Head; Axial view; Slice 59 of 155; Image size 240x240
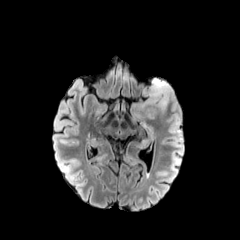
FLAIR magnetic resonance.
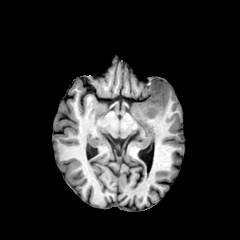
T1-weighted MR.
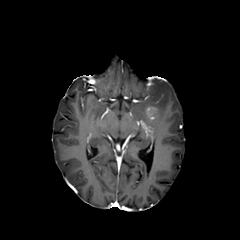
Post-contrast T1-weighted MR image.
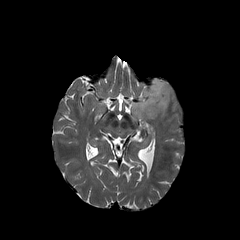
T2-weighted MR image.
• enhancing tumor: x1=146, y1=106, x2=158, y2=119
• peritumoral edema: x1=131, y1=78, x2=171, y2=119